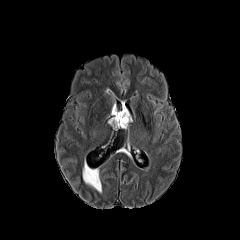
FLAIR MR image.
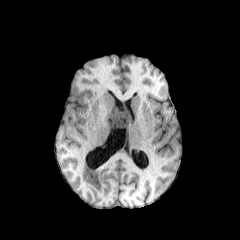
T1-weighted MRI.
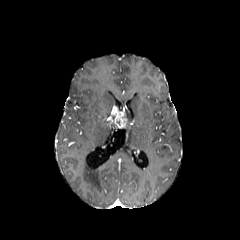
Same slice, post-contrast T1-weighted magnetic resonance.
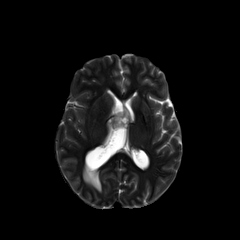
T2-weighted MRI.
240x240. Head. Axial slice.
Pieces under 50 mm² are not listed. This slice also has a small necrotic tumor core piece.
The largest peritumoral edema region is bounded by [x1=125, y1=108, x2=131, y2=126]. The enhancing tumor is at [x1=110, y1=105, x2=127, y2=127].